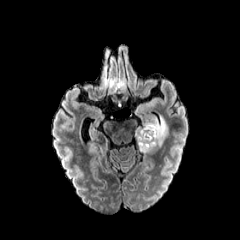
FLAIR MRI.
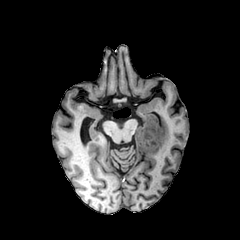
T1-weighted magnetic resonance of the same slice.
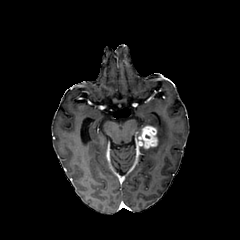
Post-contrast T1-weighted MR image of the same slice.
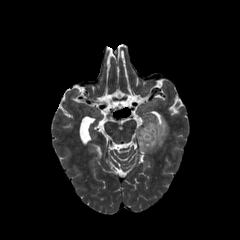
T2-weighted magnetic resonance of the same slice.
Image size 240x240, Axial plane
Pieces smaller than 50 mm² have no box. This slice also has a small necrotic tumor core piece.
enhancing tumor: (x1=135, y1=125, x2=157, y2=149)
peritumoral edema: (x1=139, y1=116, x2=168, y2=152)